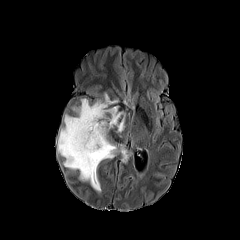
FLAIR MRI.
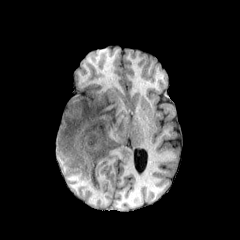
Same slice, T1-weighted magnetic resonance.
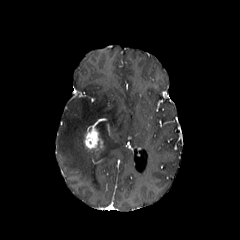
Same slice, post-contrast T1-weighted magnetic resonance.
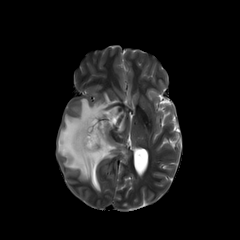
T2-weighted magnetic resonance.
240x240 px. Head. Axial view.
peritumoral edema: bounding box (left=57, top=93, right=128, bottom=191)
enhancing tumor: bounding box (left=84, top=124, right=103, bottom=150)